Head | Image width 240 mm
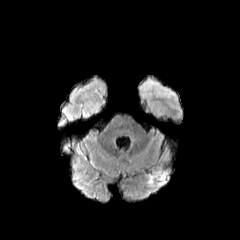
FLAIR magnetic resonance.
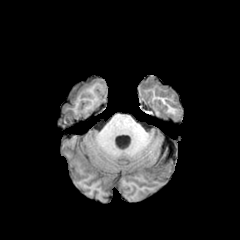
Same slice, T1-weighted MR.
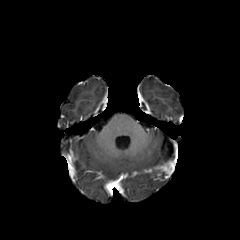
Same slice, post-contrast T1-weighted MRI.
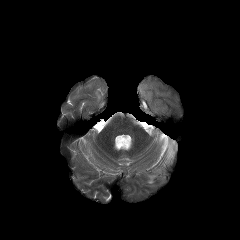
T2-weighted MR image.
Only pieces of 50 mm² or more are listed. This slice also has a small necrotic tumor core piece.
peritumoral edema at x1=147 y1=173 x2=166 y2=187
enhancing tumor at x1=150 y1=162 x2=171 y2=181